240x240; Axial slice
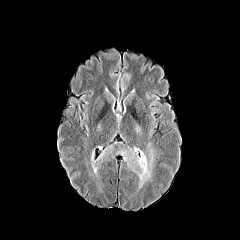
FLAIR MR image.
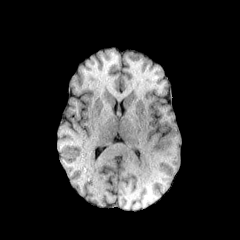
T1-weighted MRI.
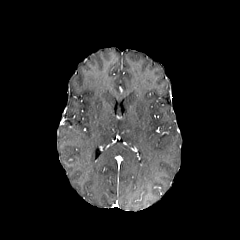
Same slice, post-contrast T1-weighted MR.
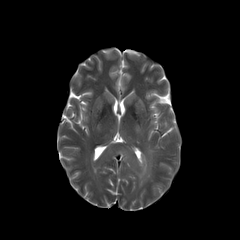
T2-weighted MR.
peritumoral edema: 89:145:115:173, 115:141:156:190